240x240.
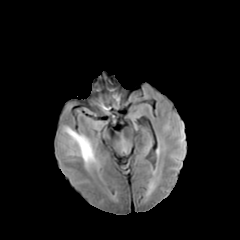
FLAIR MRI.
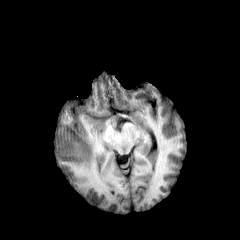
T1-weighted MRI.
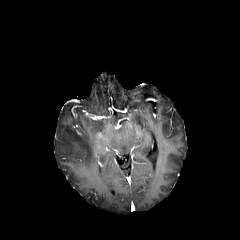
Post-contrast T1-weighted MR image.
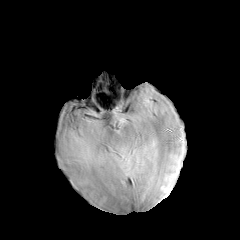
T2-weighted MR image.
• peritumoral edema: <box>66,128,95,167</box>